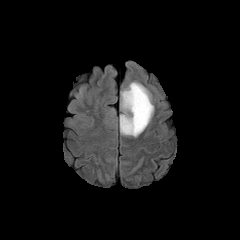
FLAIR MRI.
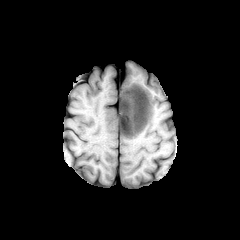
T1-weighted MR.
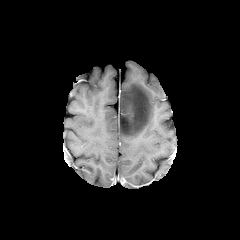
Post-contrast T1-weighted MRI.
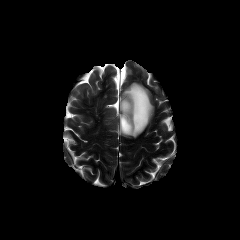
T2-weighted MR image.
Image size 240x240. Axial plane.
peritumoral edema: left=120, top=82, right=154, bottom=137